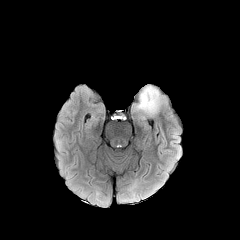
FLAIR MR image.
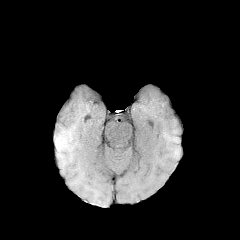
Same slice, T1-weighted MRI.
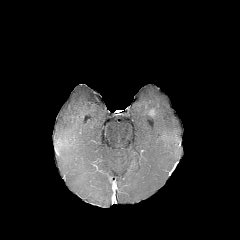
Post-contrast T1-weighted MRI of the same slice.
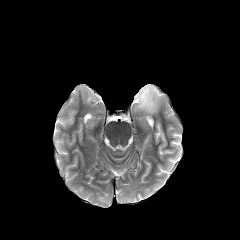
Same slice, T2-weighted magnetic resonance.
Head. 240x240.
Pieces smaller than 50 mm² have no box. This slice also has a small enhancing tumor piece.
<segmentation>
  <peritumoral_edema>box=[134, 85, 163, 116]</peritumoral_edema>
</segmentation>